Image width 240 mm, Slice 43 of 155, 240x240 px
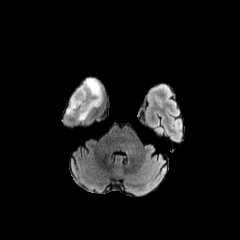
FLAIR magnetic resonance.
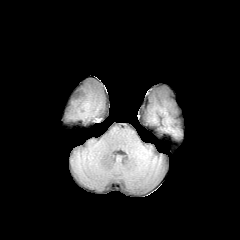
T1-weighted MR.
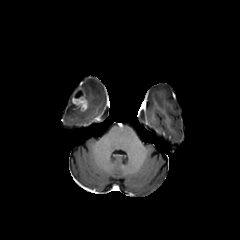
Post-contrast T1-weighted magnetic resonance of the same slice.
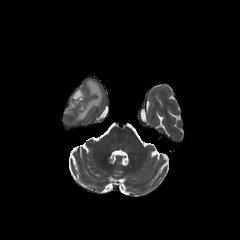
T2-weighted magnetic resonance.
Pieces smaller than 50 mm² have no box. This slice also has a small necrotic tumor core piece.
peritumoral edema: rect(66, 78, 103, 120)
enhancing tumor: rect(71, 87, 87, 111)